FLAIR magnetic resonance.
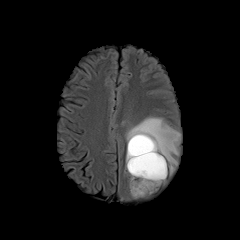
T1-weighted MR image.
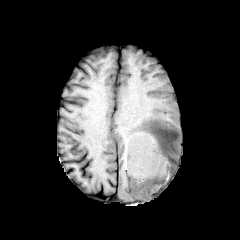
Post-contrast T1-weighted MRI.
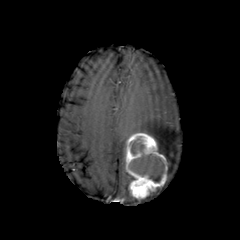
T2-weighted magnetic resonance.
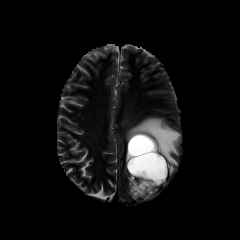
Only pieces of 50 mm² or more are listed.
enhancing tumor: left=126, top=133, right=167, bottom=198 | necrotic tumor core: left=129, top=154, right=164, bottom=182; left=131, top=138, right=144, bottom=154 | peritumoral edema: left=125, top=116, right=181, bottom=177